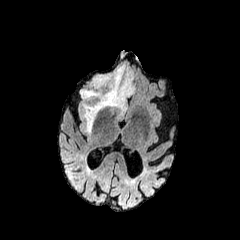
FLAIR MR image.
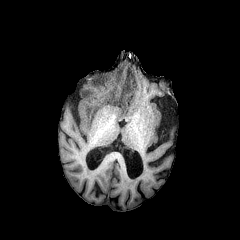
T1-weighted MR of the same slice.
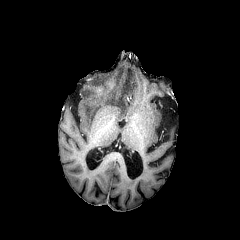
Post-contrast T1-weighted MRI of the same slice.
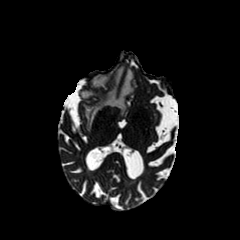
T2-weighted MR.
Brain
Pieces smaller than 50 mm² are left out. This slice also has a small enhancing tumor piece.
Findings:
- peritumoral edema: (81, 65, 133, 132)